Slice 111/155
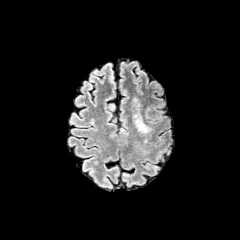
FLAIR MR.
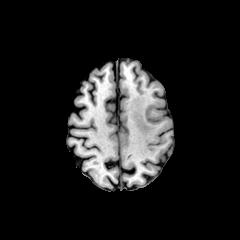
T1-weighted MR image.
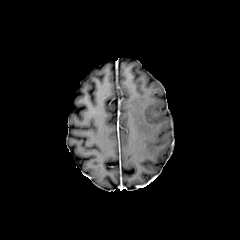
Post-contrast T1-weighted MR image.
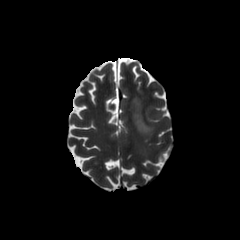
T2-weighted MRI of the same slice.
Segmented structures:
* peritumoral edema: rect(133, 98, 153, 138)